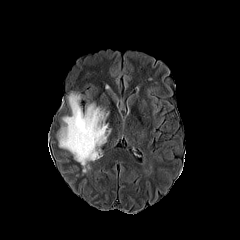
FLAIR MRI.
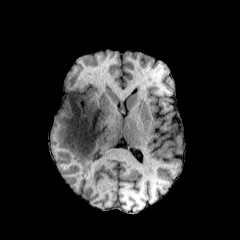
T1-weighted magnetic resonance.
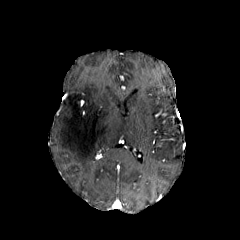
Post-contrast T1-weighted MR.
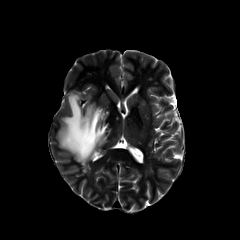
Same slice, T2-weighted MR image.
Axial plane; Brain
peritumoral edema: <box>57,93,110,173</box>